FLAIR magnetic resonance.
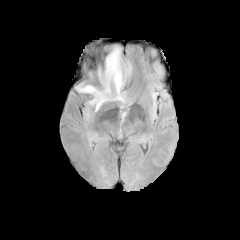
T1-weighted MR image.
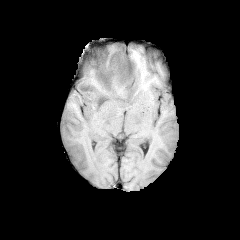
Post-contrast T1-weighted MRI.
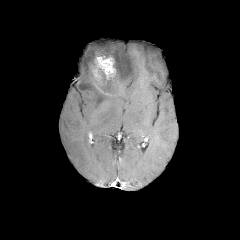
T2-weighted MRI.
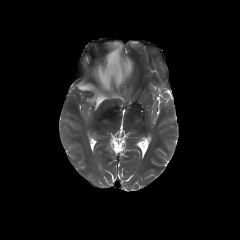
Axial slice
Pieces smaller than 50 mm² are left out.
Findings:
- enhancing tumor: [x1=92, y1=55, x2=123, y2=96]
- peritumoral edema: [x1=105, y1=44, x2=132, y2=84], [x1=75, y1=70, x2=128, y2=110]
- necrotic tumor core: [x1=100, y1=80, x2=118, y2=94]